FLAIR MRI.
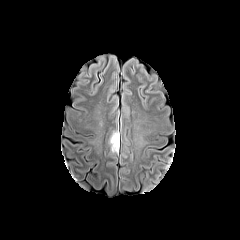
T1-weighted MRI.
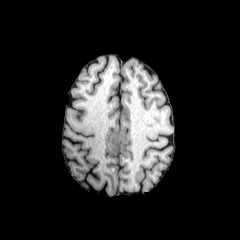
Post-contrast T1-weighted MRI.
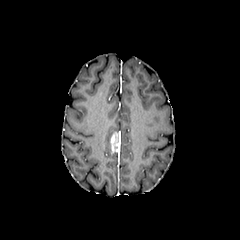
T2-weighted MRI.
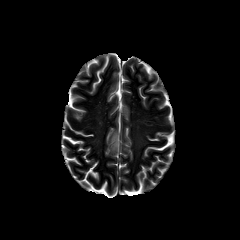
Brain, Image size 240x240
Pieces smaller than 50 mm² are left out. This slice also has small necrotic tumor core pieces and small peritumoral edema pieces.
The enhancing tumor appears at <box>110,132,118,152</box>.